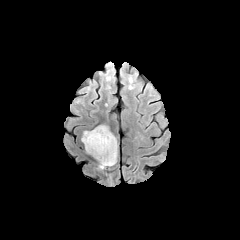
FLAIR MR.
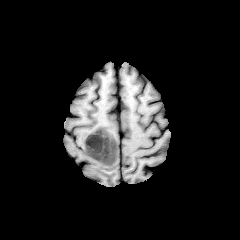
T1-weighted MRI.
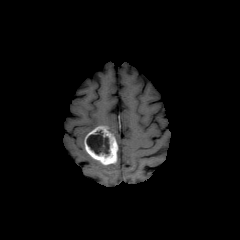
Same slice, post-contrast T1-weighted MRI.
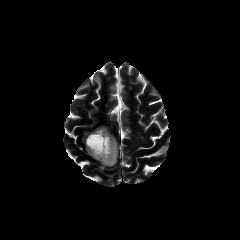
T2-weighted MR image.
Image size 240x240.
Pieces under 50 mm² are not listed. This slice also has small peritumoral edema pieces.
necrotic_tumor_core:
  - [86,130,109,154]
enhancing_tumor:
  - [84,126,117,165]